Head | Axial plane
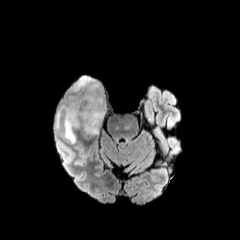
FLAIR MR.
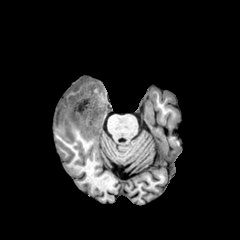
Same slice, T1-weighted MR.
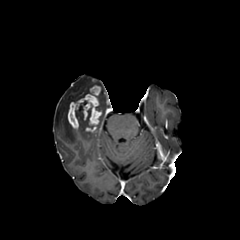
Post-contrast T1-weighted MR image.
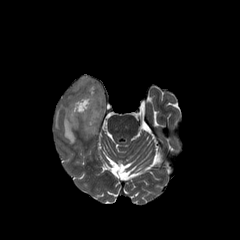
T2-weighted MR of the same slice.
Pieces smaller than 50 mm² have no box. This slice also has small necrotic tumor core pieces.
enhancing_tumor:
  - rect(68, 85, 101, 132)
peritumoral_edema:
  - rect(72, 76, 106, 134)
  - rect(76, 112, 87, 129)
  - rect(55, 105, 75, 143)